Head
FLAIR MR.
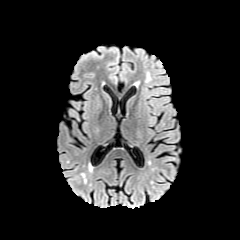
T1-weighted MR.
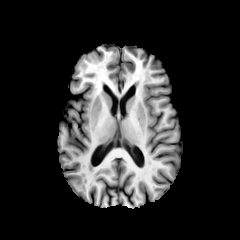
Post-contrast T1-weighted magnetic resonance.
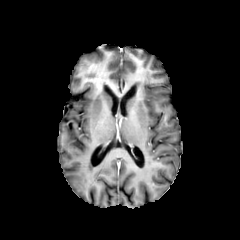
T2-weighted MR image.
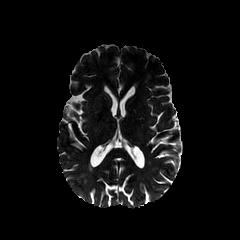
The peritumoral edema is at rect(146, 70, 151, 82).